FLAIR MR image.
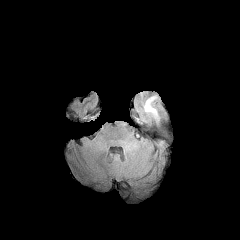
T1-weighted MR image.
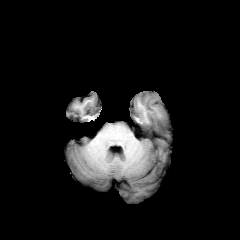
Post-contrast T1-weighted MR image.
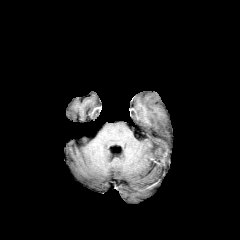
T2-weighted MR image.
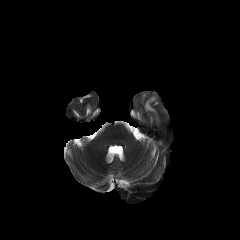
Axial view | Brain
peritumoral edema: (144,96,157,119)